FLAIR MRI.
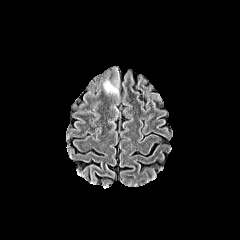
T1-weighted magnetic resonance.
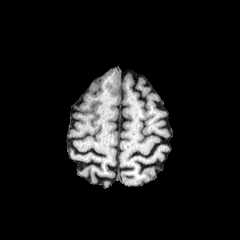
Post-contrast T1-weighted MR.
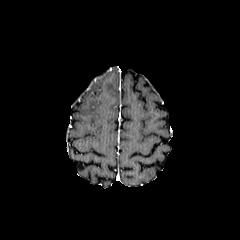
T2-weighted MR image.
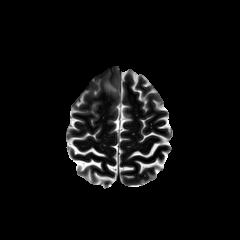
The peritumoral edema is at (x1=104, y1=81, x2=118, y2=94).